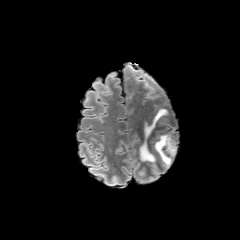
FLAIR MR.
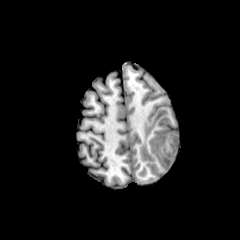
T1-weighted MR image.
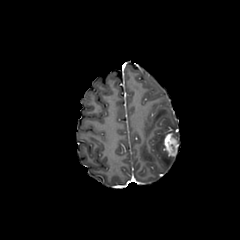
Post-contrast T1-weighted magnetic resonance of the same slice.
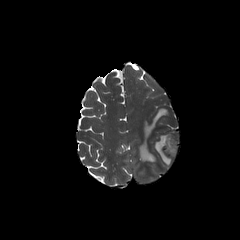
T2-weighted MRI.
Head. Axial view.
peritumoral edema: bounding box <bbox>144, 109, 168, 138</bbox>, <bbox>154, 130, 177, 168</bbox>, <bbox>139, 142, 156, 162</bbox>
enhancing tumor: bounding box <bbox>163, 132, 177, 156</bbox>